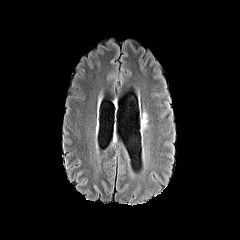
FLAIR MR image.
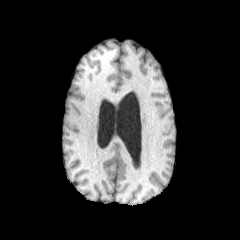
T1-weighted MR image.
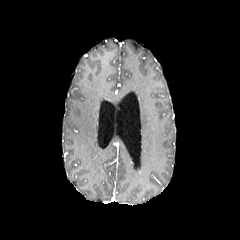
Post-contrast T1-weighted MR image.
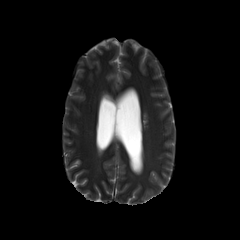
T2-weighted MR of the same slice.
240x240 px | Head | Axial slice
peritumoral edema: bbox=[141, 112, 147, 129]